FLAIR MR.
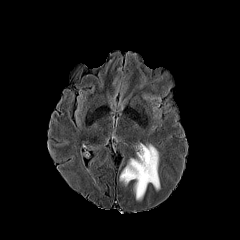
T1-weighted MRI.
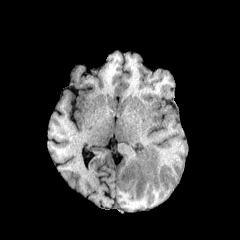
Post-contrast T1-weighted MRI.
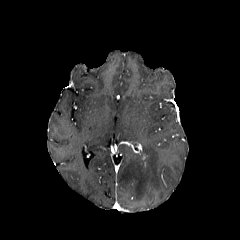
T2-weighted MR image.
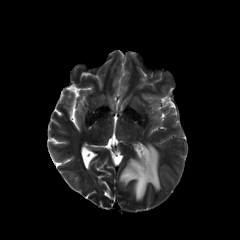
Image size 240x240 | Axial plane
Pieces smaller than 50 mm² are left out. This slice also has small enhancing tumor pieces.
Annotated regions:
- peritumoral edema: [120, 144, 160, 200]